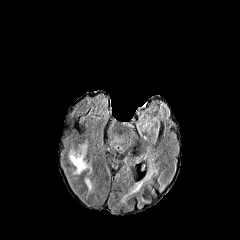
FLAIR MRI.
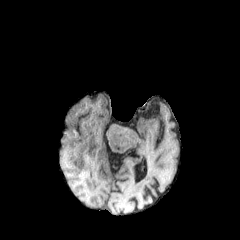
T1-weighted magnetic resonance.
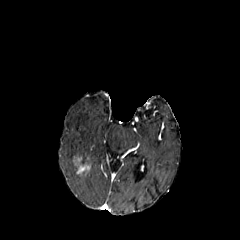
Post-contrast T1-weighted MR.
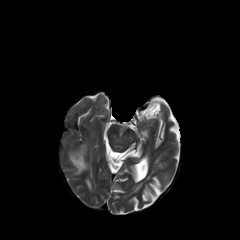
T2-weighted MR.
Head; Axial slice; 240x240 px
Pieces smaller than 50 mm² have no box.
The enhancing tumor lies within 73 157 90 173. The 2 largest peritumoral edema regions are located at 69 144 86 165, 85 178 91 190.